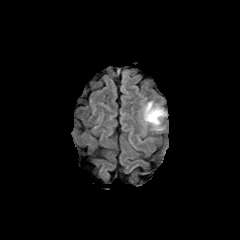
FLAIR magnetic resonance.
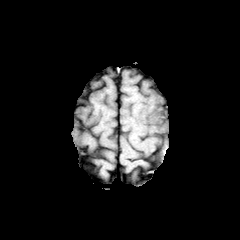
T1-weighted MRI.
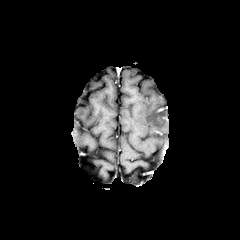
Same slice, post-contrast T1-weighted MRI.
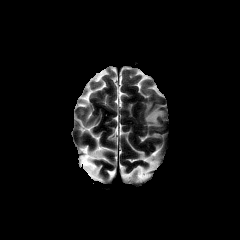
T2-weighted MR image of the same slice.
Head, 240x240 px
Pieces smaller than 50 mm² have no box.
peritumoral edema: rect(144, 102, 165, 127)